Axial view; Slice index 88
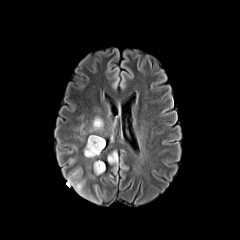
FLAIR MRI.
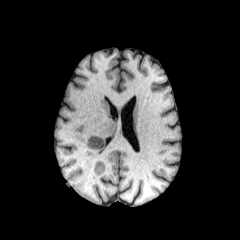
Same slice, T1-weighted MRI.
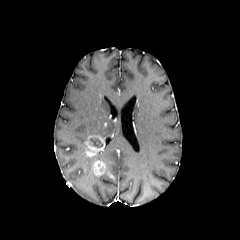
Post-contrast T1-weighted MRI of the same slice.
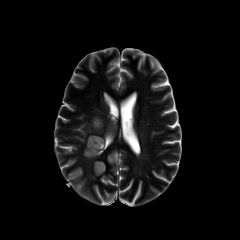
T2-weighted MR.
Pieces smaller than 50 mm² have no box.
2 enhancing tumor regions appear at region(86, 135, 104, 156); region(93, 160, 105, 175). The 2 largest peritumoral edema regions are bounded by region(93, 117, 103, 130); region(108, 151, 117, 163). The necrotic tumor core is at region(90, 138, 102, 147).